Head | Axial view
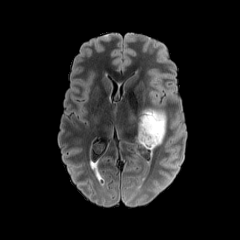
FLAIR MR image.
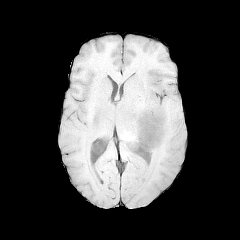
T1-weighted magnetic resonance of the same slice.
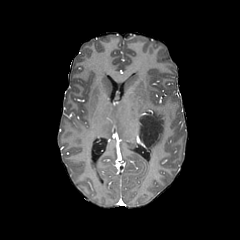
Post-contrast T1-weighted MR.
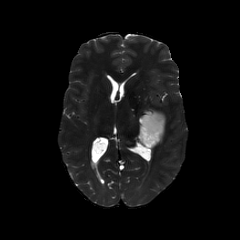
Same slice, T2-weighted MR image.
Findings:
• peritumoral edema: bbox(139, 108, 165, 149)